Axial slice | Slice index 113
FLAIR MRI.
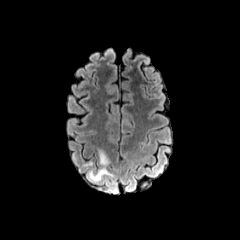
T1-weighted MRI.
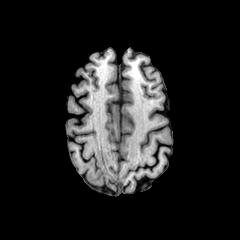
Post-contrast T1-weighted MR image.
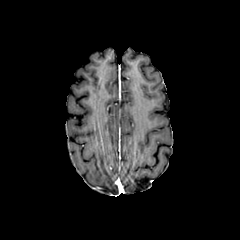
T2-weighted magnetic resonance.
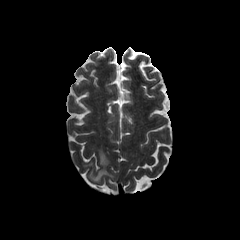
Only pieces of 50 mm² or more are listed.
The largest peritumoral edema region is located at bbox=[89, 150, 113, 182].